Brain; Slice 73/155; Axial plane; Image width 240 mm
FLAIR magnetic resonance.
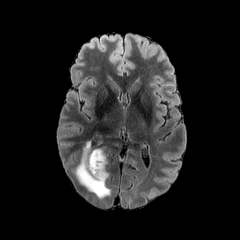
T1-weighted magnetic resonance.
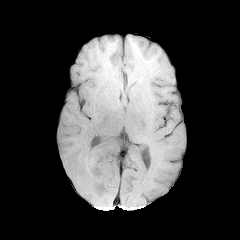
Post-contrast T1-weighted MR image.
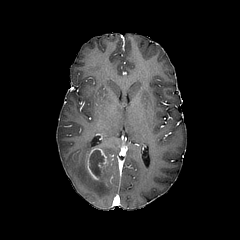
T2-weighted MR.
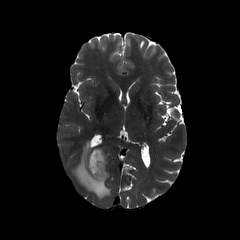
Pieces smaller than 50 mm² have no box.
necrotic_tumor_core:
  - 89 150 104 176
peritumoral_edema:
  - 71 141 110 198
enhancing_tumor:
  - 86 148 107 181